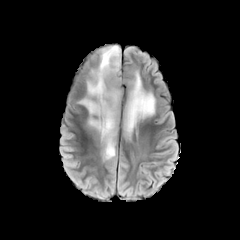
FLAIR MR.
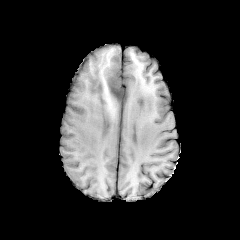
T1-weighted MR image of the same slice.
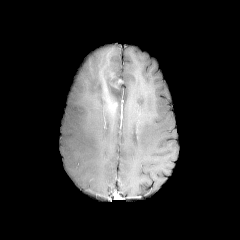
Post-contrast T1-weighted magnetic resonance of the same slice.
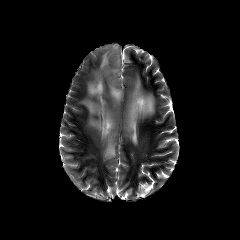
Same slice, T2-weighted magnetic resonance.
Brain, 240x240
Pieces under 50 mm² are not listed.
{"peritumoral_edema": ["(x1=78, y1=45, x2=122, y2=160)", "(x1=122, y1=69, x2=155, y2=140)"], "enhancing_tumor": ["(x1=110, y1=79, x2=122, y2=89)"]}